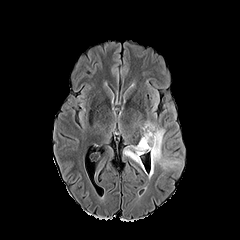
FLAIR MR image.
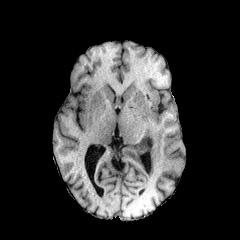
T1-weighted MR image.
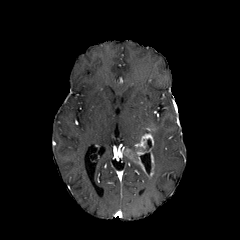
Post-contrast T1-weighted MRI.
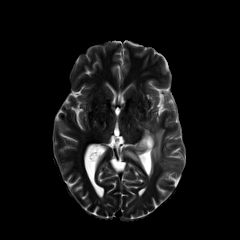
T2-weighted MRI.
240x240 px; Head
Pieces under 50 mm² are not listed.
The largest enhancing tumor region is at (125, 133, 153, 169). The 3 largest peritumoral edema regions are bounded by (160, 160, 172, 168), (144, 128, 163, 163), (143, 122, 154, 129). The necrotic tumor core appears at (146, 138, 151, 149).